FLAIR MR.
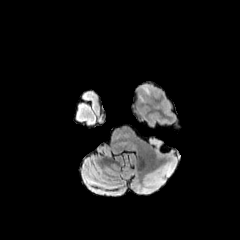
T1-weighted MRI.
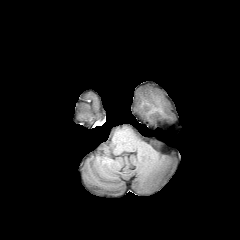
Post-contrast T1-weighted MR image.
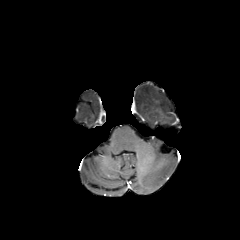
T2-weighted MR image.
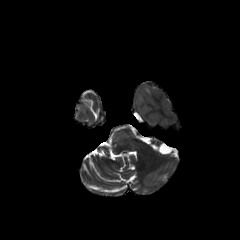
Axial slice. Head.
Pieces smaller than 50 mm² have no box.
{"peritumoral_edema": ["bbox(141, 85, 152, 95)"]}